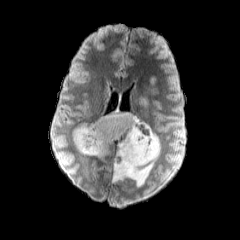
FLAIR MR image.
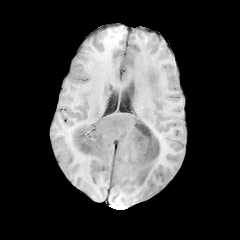
T1-weighted MR image.
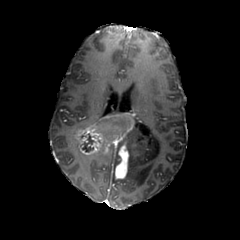
Post-contrast T1-weighted MR of the same slice.
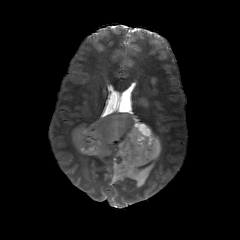
T2-weighted magnetic resonance.
Brain | Image size 240x240
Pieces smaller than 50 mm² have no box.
peritumoral edema: [88,148,113,159], [113,119,160,187], [137,98,146,105] | necrotic tumor core: [101,116,126,127], [82,134,93,152] | enhancing tumor: [73,114,134,179]